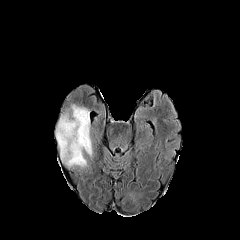
FLAIR magnetic resonance.
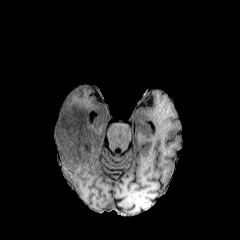
T1-weighted MR of the same slice.
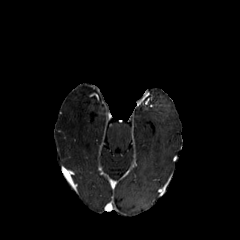
Post-contrast T1-weighted MRI.
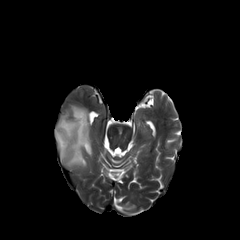
T2-weighted MRI.
Image size 240x240
peritumoral edema: bounding box left=55, top=104, right=92, bottom=166